FLAIR MR image.
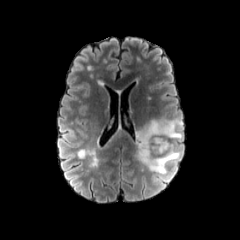
T1-weighted MRI.
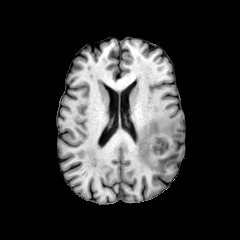
Post-contrast T1-weighted magnetic resonance.
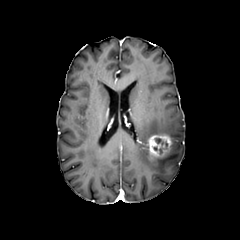
T2-weighted magnetic resonance.
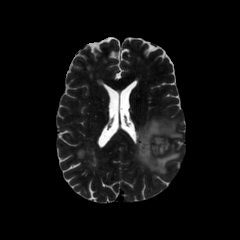
Head | Axial plane
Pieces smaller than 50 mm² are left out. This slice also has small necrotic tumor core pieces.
<segmentation>
  <peritumoral_edema>136 118 183 173</peritumoral_edema>
  <enhancing_tumor>146 135 172 156</enhancing_tumor>
</segmentation>